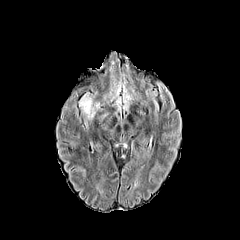
FLAIR MR.
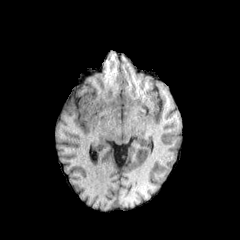
T1-weighted MR of the same slice.
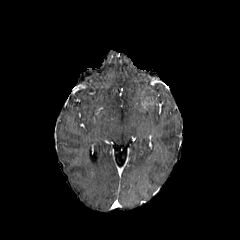
Post-contrast T1-weighted magnetic resonance.
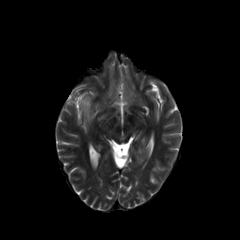
T2-weighted MR image.
Axial slice | 240x240 px | Head
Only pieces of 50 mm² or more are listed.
The largest peritumoral edema region is bounded by (x1=80, y1=97, x2=93, y2=118).